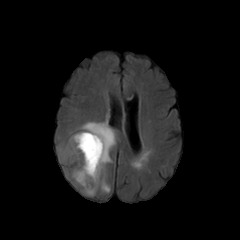
FLAIR magnetic resonance.
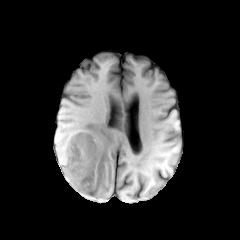
T1-weighted MR.
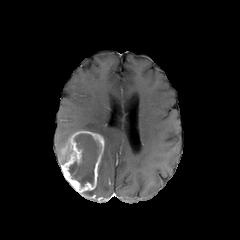
Post-contrast T1-weighted magnetic resonance.
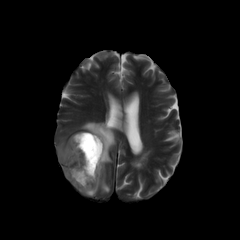
Same slice, T2-weighted MR.
Axial plane
The enhancing tumor is bounded by left=61, top=131, right=104, bottom=193. The necrotic tumor core appears at left=69, top=134, right=99, bottom=186. 2 peritumoral edema regions are bounded by left=58, top=137, right=72, bottom=164; left=78, top=114, right=116, bottom=196.